Image width 240 mm, 1.00 mm slice spacing | Brain | Slice 106/155
FLAIR magnetic resonance.
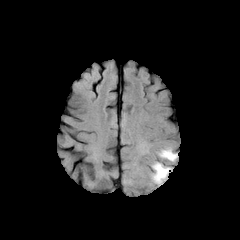
T1-weighted MRI.
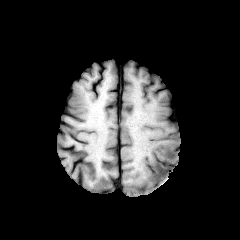
Post-contrast T1-weighted MR.
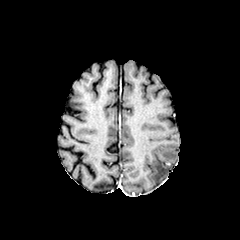
T2-weighted magnetic resonance.
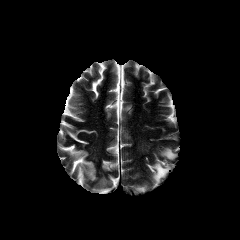
peritumoral edema: rect(152, 162, 171, 183); rect(159, 148, 177, 160)